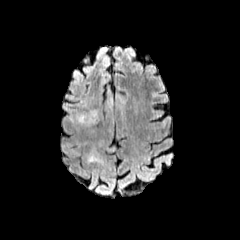
FLAIR MR.
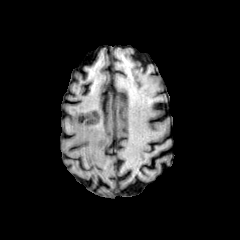
T1-weighted MR image.
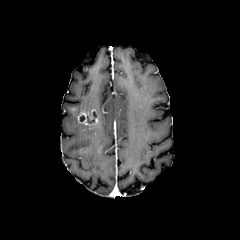
Same slice, post-contrast T1-weighted MRI.
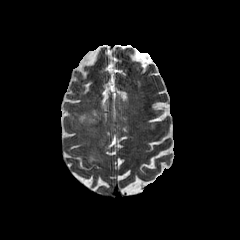
T2-weighted MR of the same slice.
Axial view
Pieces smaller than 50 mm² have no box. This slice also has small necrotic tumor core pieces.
Segmented structures:
- enhancing tumor: 77, 109, 99, 125
- peritumoral edema: 87, 142, 106, 162